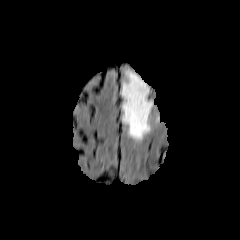
FLAIR MR.
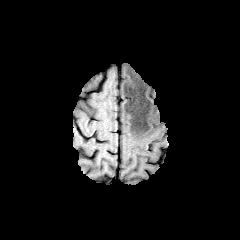
Same slice, T1-weighted MR.
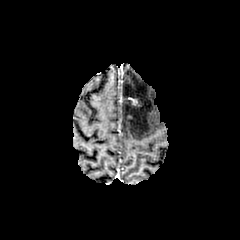
Same slice, post-contrast T1-weighted magnetic resonance.
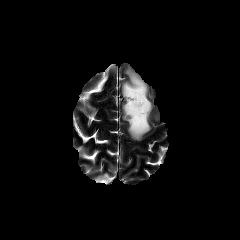
T2-weighted magnetic resonance.
Head | Axial plane
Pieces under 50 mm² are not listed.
Findings:
• peritumoral edema: (121,69,152,140)
• enhancing tumor: (129,98,140,106)